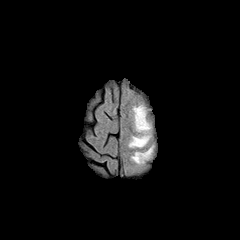
FLAIR MRI.
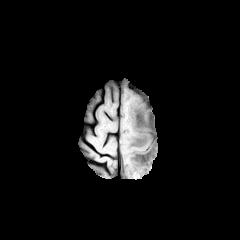
Same slice, T1-weighted MRI.
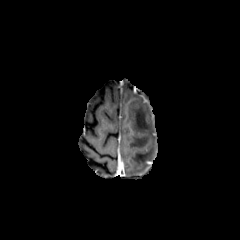
Post-contrast T1-weighted MR image of the same slice.
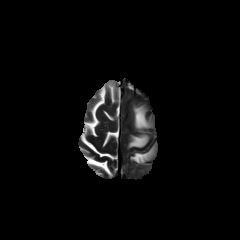
T2-weighted MR of the same slice.
Image size 240x240, Axial view
peritumoral edema — (131, 146, 153, 164), (128, 105, 151, 147)